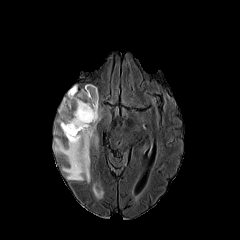
FLAIR MR image.
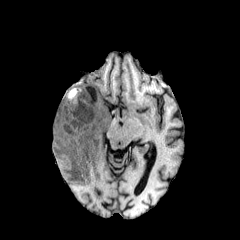
Same slice, T1-weighted MR.
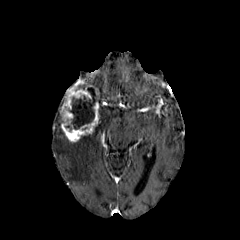
Post-contrast T1-weighted magnetic resonance of the same slice.
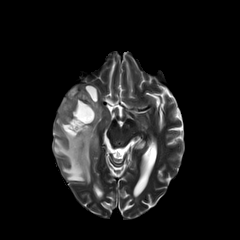
T2-weighted magnetic resonance of the same slice.
Image size 240x240. Head.
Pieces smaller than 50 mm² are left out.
The enhancing tumor lies within 59 84 99 142. The largest necrotic tumor core region is bounded by 69 87 97 129. The 2 largest peritumoral edema regions are located at 53 132 98 183, 54 128 65 136.